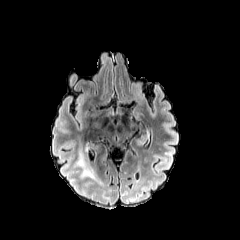
FLAIR MR image.
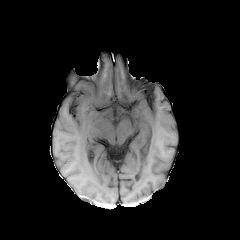
T1-weighted MR.
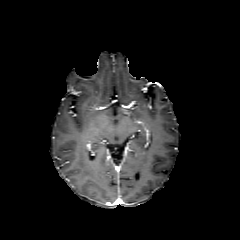
Same slice, post-contrast T1-weighted MRI.
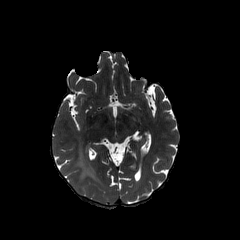
T2-weighted MR.
Brain, Axial plane
peritumoral edema = region(77, 153, 94, 178)